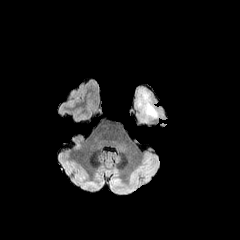
FLAIR MRI.
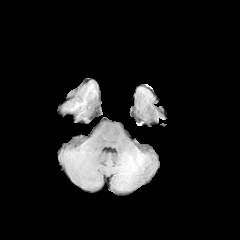
Same slice, T1-weighted MR image.
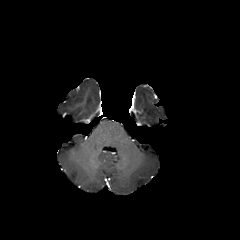
Post-contrast T1-weighted MR.
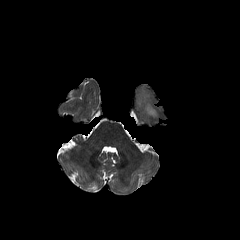
Same slice, T2-weighted MRI.
Brain
peritumoral_edema:
  - (137,89,157,120)